Axial plane.
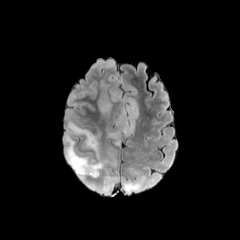
FLAIR MRI.
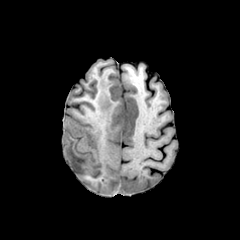
T1-weighted MR image.
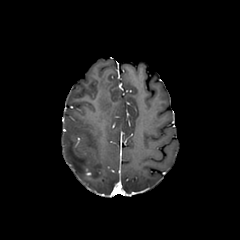
Post-contrast T1-weighted magnetic resonance of the same slice.
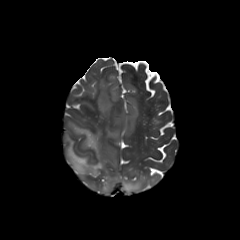
T2-weighted magnetic resonance of the same slice.
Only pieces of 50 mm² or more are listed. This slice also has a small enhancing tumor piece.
peritumoral edema: box=[108, 131, 119, 145]; box=[119, 108, 129, 134]; box=[99, 98, 111, 113]; box=[122, 176, 155, 193]; box=[126, 100, 137, 127]; box=[64, 121, 118, 194]